FLAIR magnetic resonance.
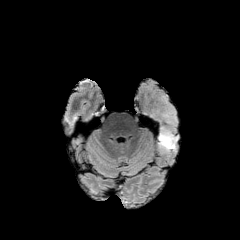
T1-weighted MR.
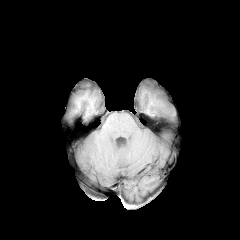
Post-contrast T1-weighted MR image.
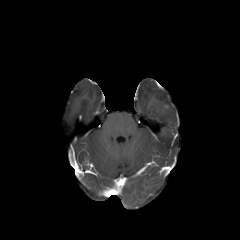
T2-weighted MR.
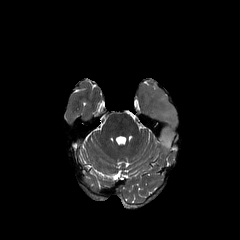
Brain. Axial view.
peritumoral edema: bounding box (x1=156, y1=127, x2=178, y2=154), (x1=146, y1=94, x2=176, y2=124)